240x240 px. Slice 88 of 155. Axial view. Brain.
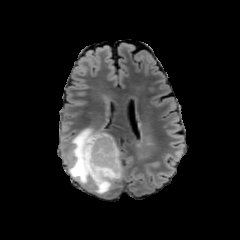
FLAIR MR.
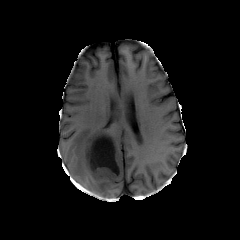
Same slice, T1-weighted MR.
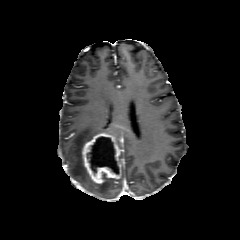
Post-contrast T1-weighted MRI of the same slice.
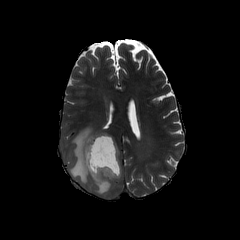
Same slice, T2-weighted MR.
* enhancing tumor: bbox=[82, 132, 121, 184]
* necrotic tumor core: bbox=[89, 136, 119, 174]
* peritumoral edema: bbox=[67, 127, 122, 194]